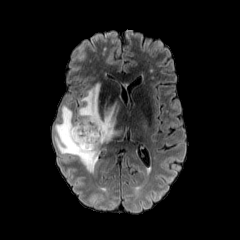
FLAIR MR image.
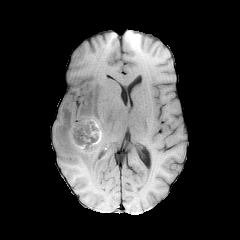
T1-weighted MRI of the same slice.
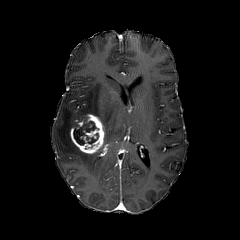
Post-contrast T1-weighted MRI of the same slice.
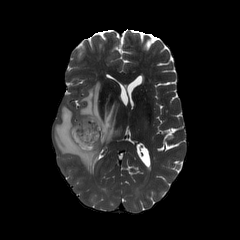
Same slice, T2-weighted MRI.
Head. Axial plane.
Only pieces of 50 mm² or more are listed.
2 peritumoral edema regions are located at [x1=54, y1=105, x2=100, y2=173], [x1=77, y1=81, x2=128, y2=144]. The 2 largest necrotic tumor core regions appear at [x1=73, y1=118, x2=98, y2=145], [x1=84, y1=133, x2=100, y2=149]. The largest enhancing tumor region is bounded by [x1=70, y1=114, x2=105, y2=153].